FLAIR MRI.
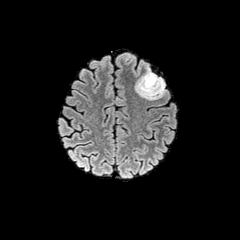
T1-weighted magnetic resonance.
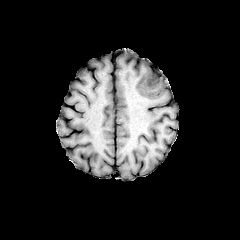
Post-contrast T1-weighted MR.
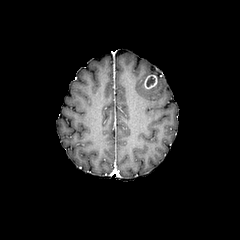
T2-weighted MRI.
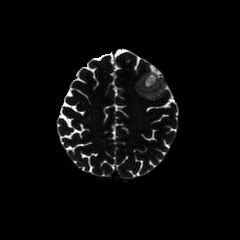
240x240 | Brain | Axial plane
enhancing tumor — [144, 74, 157, 89]
necrotic tumor core — [147, 76, 154, 86]
peritumoral edema — [136, 67, 165, 100]